FLAIR MR image.
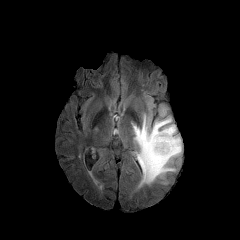
T1-weighted MR.
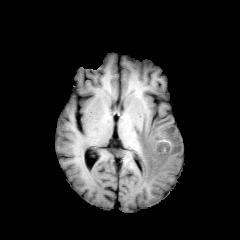
Post-contrast T1-weighted MR.
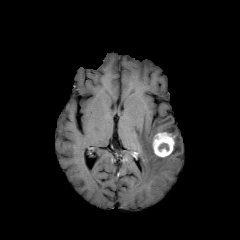
T2-weighted MR image.
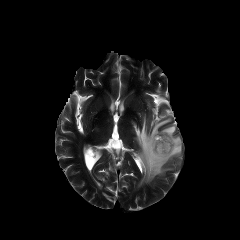
Axial slice
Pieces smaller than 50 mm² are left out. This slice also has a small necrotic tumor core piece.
Annotated regions:
- enhancing tumor: bbox(152, 132, 175, 157)
- peritumoral edema: bbox(133, 108, 182, 186)